FLAIR MR.
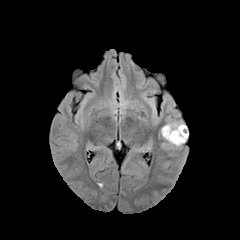
T1-weighted MRI.
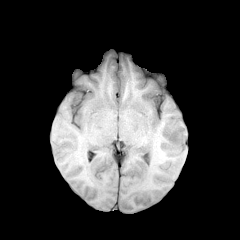
Post-contrast T1-weighted MR image.
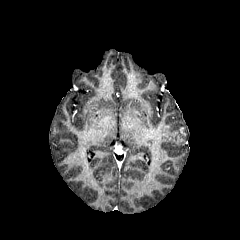
T2-weighted MR.
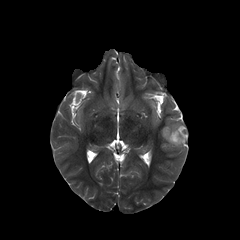
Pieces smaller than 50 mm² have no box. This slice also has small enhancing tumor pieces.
{"peritumoral_edema": ["left=161, top=121, right=187, bottom=147"]}